Brain.
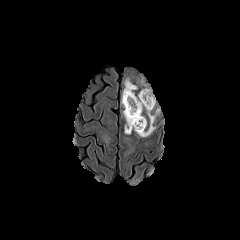
FLAIR magnetic resonance.
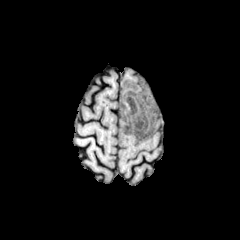
Same slice, T1-weighted magnetic resonance.
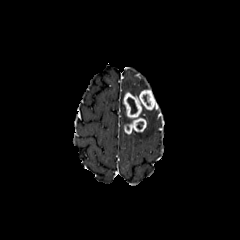
Post-contrast T1-weighted MR image.
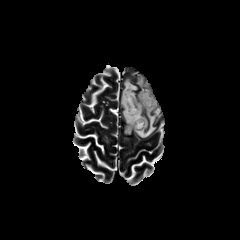
T2-weighted magnetic resonance.
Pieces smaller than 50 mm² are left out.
enhancing tumor = box(123, 89, 156, 134)
peritumoral edema = box(137, 110, 158, 137); box(121, 78, 137, 123)
necrotic tumor core = box(127, 98, 137, 113)